FLAIR magnetic resonance.
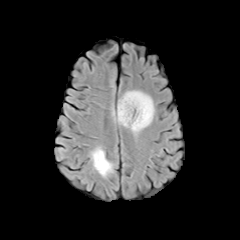
T1-weighted MR.
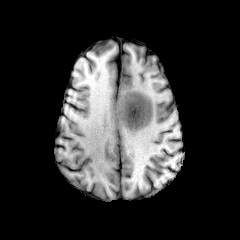
Post-contrast T1-weighted magnetic resonance.
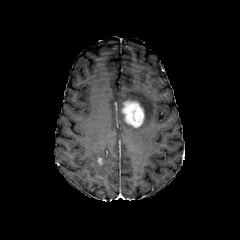
T2-weighted MR.
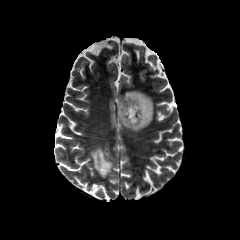
Axial slice. 240x240. Head.
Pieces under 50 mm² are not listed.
The 2 largest peritumoral edema regions appear at (117, 91, 154, 132), (90, 147, 112, 177). The largest enhancing tumor region is bounded by (121, 100, 144, 127).